FLAIR MRI.
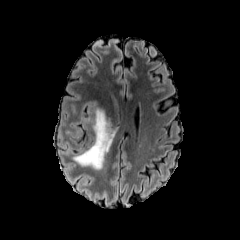
T1-weighted MRI.
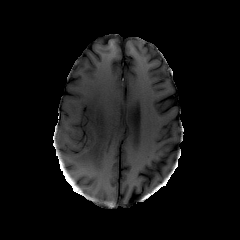
Post-contrast T1-weighted MR image.
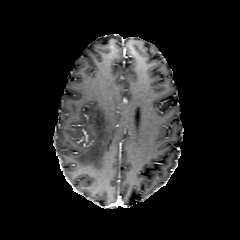
T2-weighted MR image.
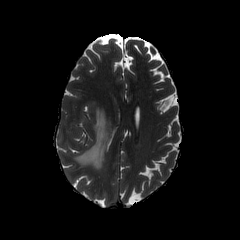
240x240.
peritumoral_edema:
  - 73, 108, 114, 169